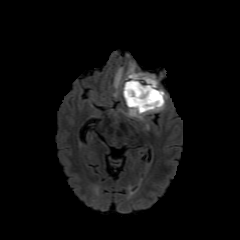
FLAIR magnetic resonance.
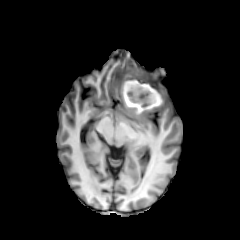
T1-weighted MR image of the same slice.
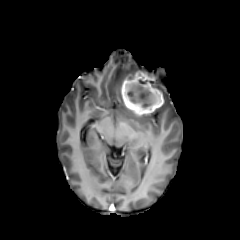
Post-contrast T1-weighted MRI.
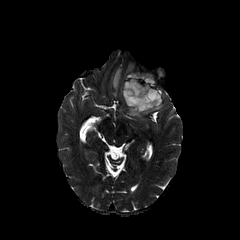
Same slice, T2-weighted MRI.
Axial plane, Head
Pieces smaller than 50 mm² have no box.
peritumoral edema: (113, 63, 135, 96), (155, 87, 167, 110), (126, 109, 143, 119)
necrotic tumor core: (126, 79, 160, 110)
enhancing tumor: (121, 70, 163, 115)